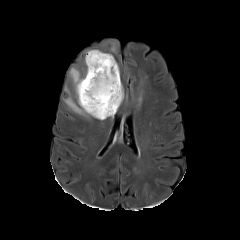
FLAIR magnetic resonance.
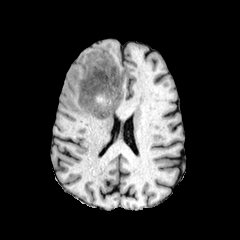
T1-weighted MR image.
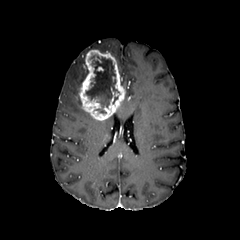
Same slice, post-contrast T1-weighted MR.
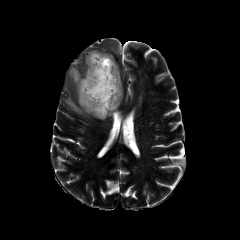
T2-weighted magnetic resonance of the same slice.
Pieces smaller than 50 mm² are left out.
Segmented structures:
* peritumoral edema: <box>64,64,90,117</box>
* necrotic tumor core: <box>86,55,118,107</box>
* enhancing tumor: <box>79,50,124,120</box>